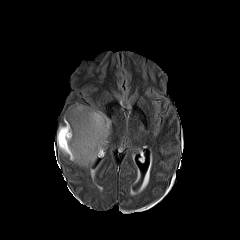
FLAIR magnetic resonance.
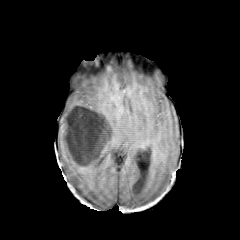
T1-weighted MR image.
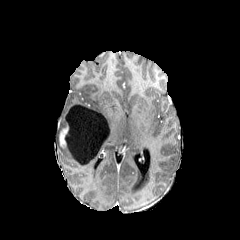
Post-contrast T1-weighted magnetic resonance.
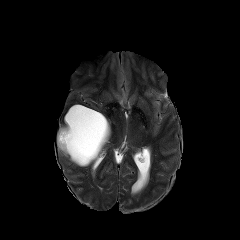
T2-weighted MRI.
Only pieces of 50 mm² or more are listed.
Segmented structures:
* necrotic tumor core: x1=61 y1=105 x2=109 y2=164
* peritumoral edema: x1=57 y1=116 x2=97 y2=167, x1=75 y1=103 x2=111 y2=137
* enhancing tumor: x1=59 y1=125 x2=68 y2=147